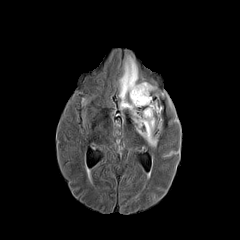
FLAIR MR image.
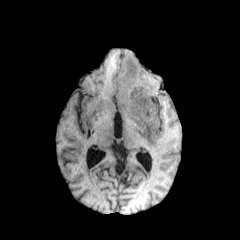
T1-weighted magnetic resonance of the same slice.
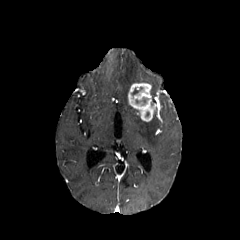
Same slice, post-contrast T1-weighted MR.
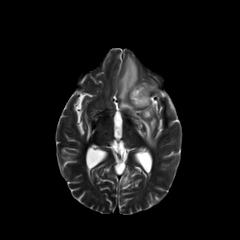
T2-weighted MR.
Head. Axial view.
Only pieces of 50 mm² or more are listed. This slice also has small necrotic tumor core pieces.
Segmented structures:
- enhancing tumor: x1=127, y1=82, x2=161, y2=121
- peritumoral edema: x1=119, y1=54, x2=158, y2=147